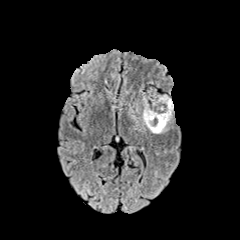
FLAIR MR image.
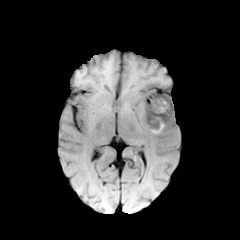
T1-weighted MRI.
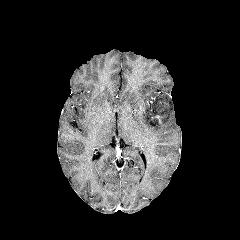
Same slice, post-contrast T1-weighted MR image.
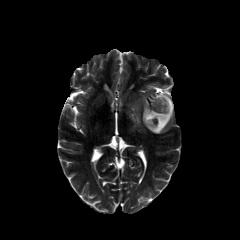
T2-weighted MRI.
Head | Axial slice
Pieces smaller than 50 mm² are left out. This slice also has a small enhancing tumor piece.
Segmented structures:
* necrotic tumor core: (x1=149, y1=101, x2=165, y2=126)
* peritumoral edema: (x1=142, y1=94, x2=174, y2=133)